240x240 px. Axial plane.
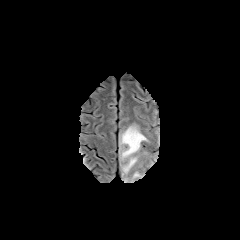
FLAIR magnetic resonance.
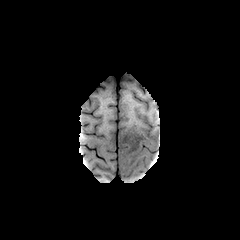
Same slice, T1-weighted MR.
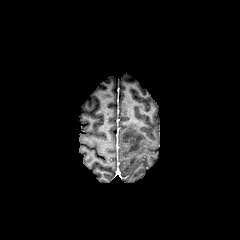
Post-contrast T1-weighted MR.
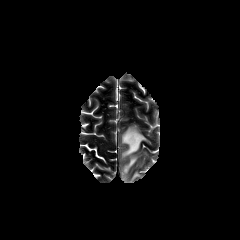
T2-weighted MRI.
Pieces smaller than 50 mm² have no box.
peritumoral edema at (130,171,141,182), (120,125,147,175)